FLAIR MR.
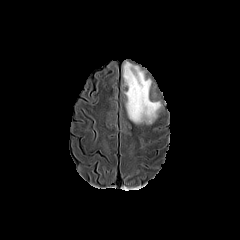
T1-weighted magnetic resonance.
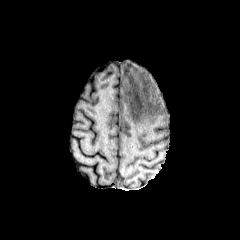
Post-contrast T1-weighted MR image.
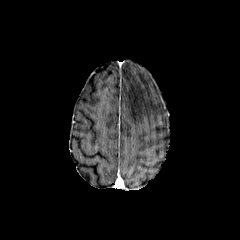
T2-weighted magnetic resonance.
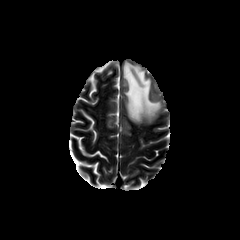
240x240 px
<segmentation>
  <peritumoral_edema>l=123, t=62, r=161, b=123</peritumoral_edema>
</segmentation>